Head. Axial view.
FLAIR MR image.
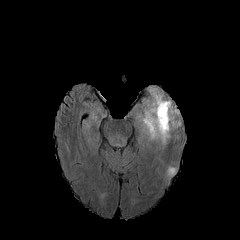
T1-weighted MRI.
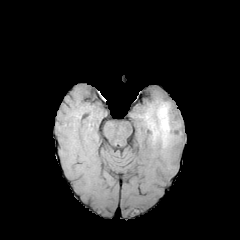
Post-contrast T1-weighted MRI.
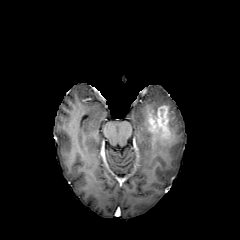
T2-weighted magnetic resonance.
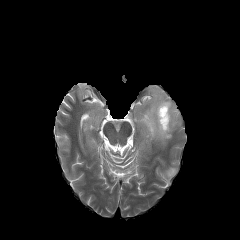
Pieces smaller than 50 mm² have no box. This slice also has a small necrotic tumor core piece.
Findings:
• enhancing tumor: [147, 105, 170, 138]
• peritumoral edema: [168, 168, 174, 176], [140, 86, 180, 143]